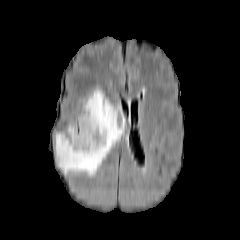
FLAIR MR.
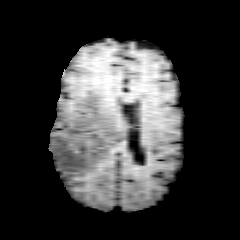
T1-weighted MRI.
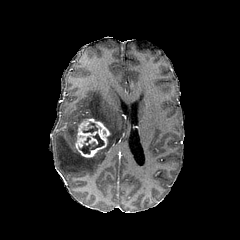
Post-contrast T1-weighted MRI.
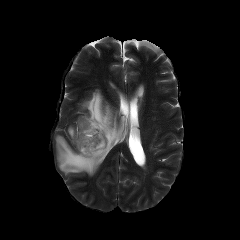
T2-weighted MRI.
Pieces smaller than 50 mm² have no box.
The enhancing tumor is at bbox(75, 118, 110, 157). The peritumoral edema is bounded by bbox(55, 89, 124, 176). The 2 largest necrotic tumor core regions appear at bbox(79, 134, 104, 153); bbox(83, 122, 97, 132).